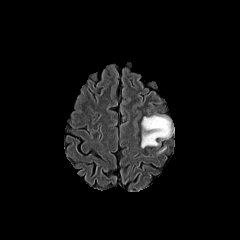
FLAIR MR image.
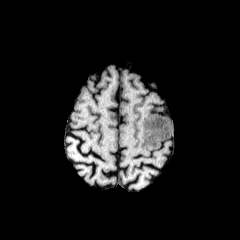
T1-weighted MR of the same slice.
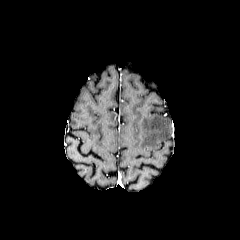
Post-contrast T1-weighted MR of the same slice.
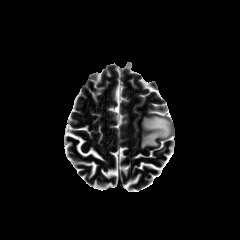
T2-weighted MRI of the same slice.
Brain; Axial view
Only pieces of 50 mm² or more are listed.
Annotated regions:
• peritumoral edema: 141,115,171,148